Slice index 69. Image size 240x240. Axial view.
FLAIR MR.
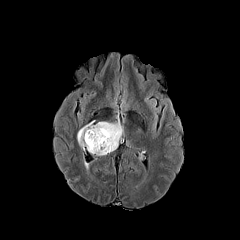
T1-weighted MR.
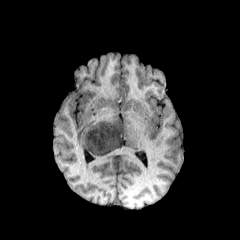
Post-contrast T1-weighted MRI.
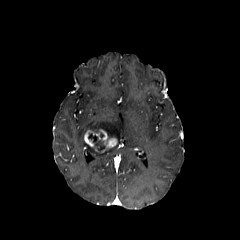
T2-weighted MR image.
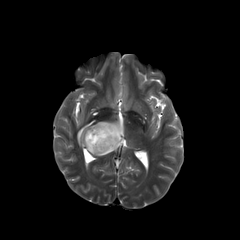
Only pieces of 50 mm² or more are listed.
Segmented structures:
* necrotic tumor core: <box>88,133,105,151</box>
* peritumoral edema: <box>77,119,123,155</box>
* enhancing tumor: <box>84,129,117,152</box>